FLAIR MRI.
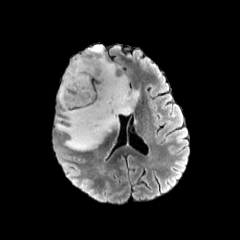
T1-weighted magnetic resonance.
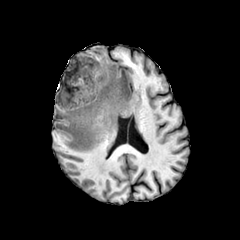
Post-contrast T1-weighted magnetic resonance.
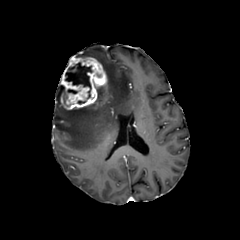
T2-weighted MRI.
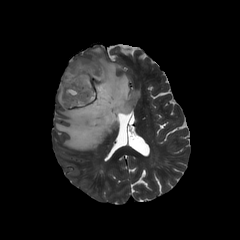
Head, Axial view
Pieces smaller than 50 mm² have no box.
<segmentation>
  <necrotic_tumor_core>65, 62, 92, 98</necrotic_tumor_core>
  <peritumoral_edema>58, 85, 63, 104; 56, 45, 139, 150</peritumoral_edema>
  <enhancing_tumor>60, 56, 107, 109</enhancing_tumor>
</segmentation>